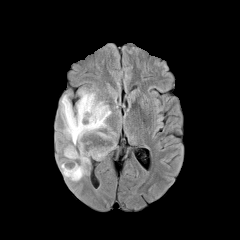
FLAIR MR image.
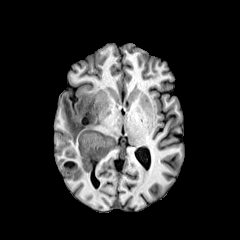
T1-weighted MR image.
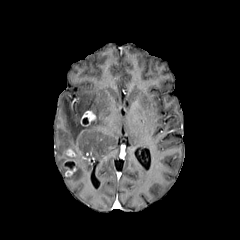
Post-contrast T1-weighted MR.
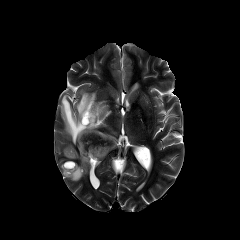
Same slice, T2-weighted MRI.
Axial view. 240x240.
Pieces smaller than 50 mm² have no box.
peritumoral_edema:
  - region(60, 89, 115, 181)
enhancing_tumor:
  - region(66, 149, 75, 156)
  - region(65, 167, 76, 176)
  - region(80, 111, 95, 125)
necrotic_tumor_core:
  - region(63, 162, 75, 169)